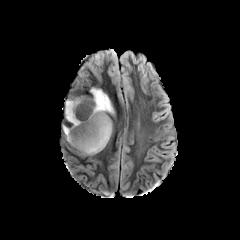
FLAIR MR.
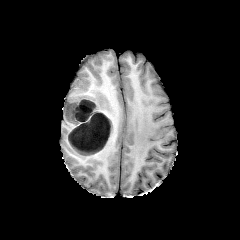
T1-weighted MR image.
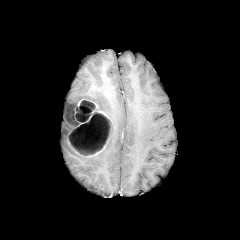
Post-contrast T1-weighted MR image.
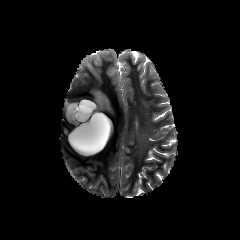
T2-weighted MRI.
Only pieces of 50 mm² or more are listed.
The largest peritumoral edema region appears at rect(90, 88, 114, 114). The 4 largest necrotic tumor core regions are bounded by rect(65, 103, 77, 124); rect(69, 112, 110, 153); rect(76, 113, 90, 121); rect(80, 106, 91, 112). 2 enhancing tumor regions are bounded by rect(71, 145, 100, 155); rect(63, 98, 112, 149).